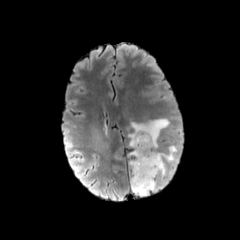
FLAIR MR.
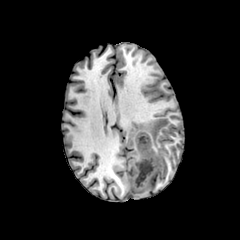
Same slice, T1-weighted MR.
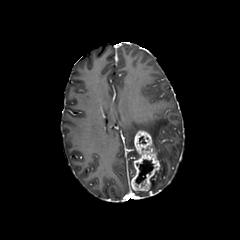
Post-contrast T1-weighted magnetic resonance.
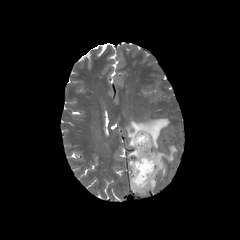
Same slice, T2-weighted MRI.
240x240 px | Head
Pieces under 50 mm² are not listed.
<segmentation>
  <peritumoral_edema>{"x1": 129, "y1": 149, "x2": 138, "y2": 159}, {"x1": 133, "y1": 191, "x2": 148, "y2": 196}, {"x1": 154, "y1": 146, "x2": 176, "y2": 177}, {"x1": 128, "y1": 118, "x2": 169, "y2": 149}</peritumoral_edema>
  <necrotic_tumor_core>{"x1": 135, "y1": 159, "x2": 153, "y2": 184}</necrotic_tumor_core>
  <enhancing_tumor>{"x1": 131, "y1": 130, "x2": 160, "y2": 191}</enhancing_tumor>
</segmentation>